240x240 px, Brain
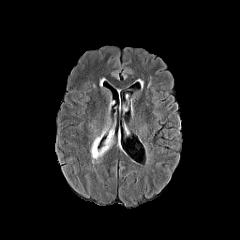
FLAIR MR.
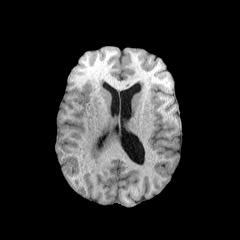
T1-weighted MRI.
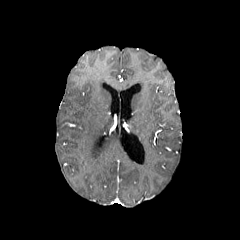
Same slice, post-contrast T1-weighted magnetic resonance.
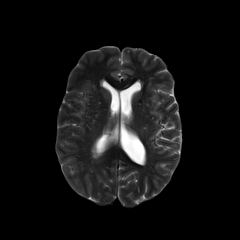
Same slice, T2-weighted MR image.
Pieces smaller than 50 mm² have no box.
peritumoral edema: bbox(91, 131, 113, 159)